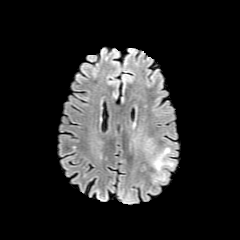
FLAIR magnetic resonance.
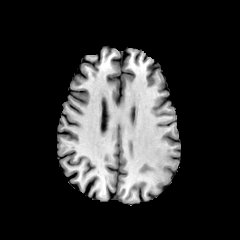
Same slice, T1-weighted MR image.
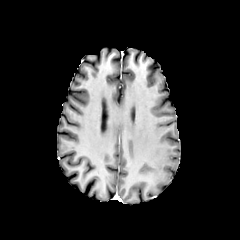
Same slice, post-contrast T1-weighted MR.
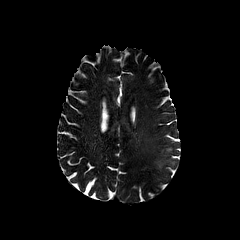
T2-weighted MRI.
Axial view | 240x240 px
peritumoral edema — l=153, t=148, r=172, b=170